FLAIR magnetic resonance.
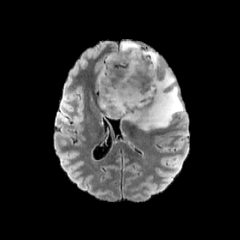
T1-weighted MRI.
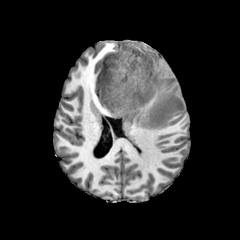
Post-contrast T1-weighted magnetic resonance.
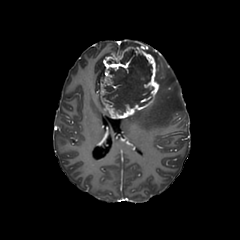
T2-weighted MR image.
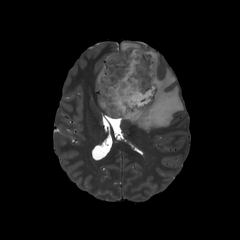
Axial view
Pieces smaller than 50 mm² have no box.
* peritumoral edema: [x1=123, y1=68, x2=183, y2=131], [x1=120, y1=41, x2=140, y2=50], [x1=145, y1=50, x2=158, y2=67], [x1=97, y1=65, x2=104, y2=90]
* necrotic tumor core: [x1=103, y1=49, x2=153, y2=114]
* enhancing tumor: [x1=99, y1=47, x2=159, y2=118]